Image width 240 mm, 1.00 mm slice spacing, Brain, Slice 112 of 155
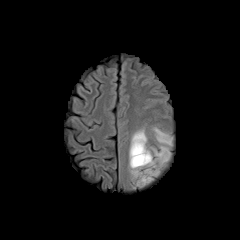
FLAIR MRI.
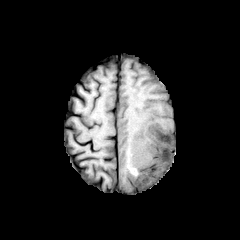
T1-weighted MR.
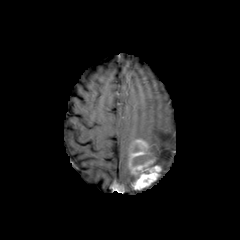
Post-contrast T1-weighted MRI.
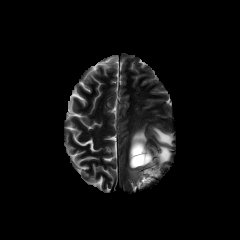
T2-weighted MR of the same slice.
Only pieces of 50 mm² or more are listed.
The peritumoral edema is located at x1=128 y1=126 x2=173 y2=182. The enhancing tumor lies within x1=129 y1=139 x2=161 y2=189. The largest necrotic tumor core region is located at x1=132 y1=154 x2=153 y2=166.